240x240; Image width 240 mm, 1.00 mm slice spacing; Slice 63/155
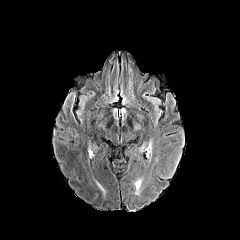
FLAIR MRI.
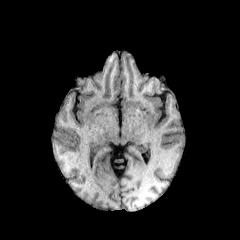
T1-weighted MR.
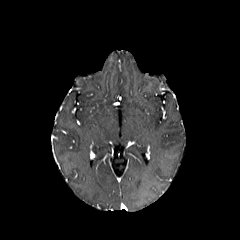
Post-contrast T1-weighted MR image.
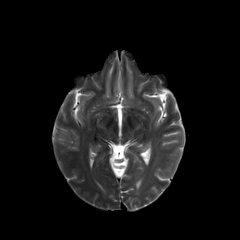
Same slice, T2-weighted MR image.
Segmented structures:
- peritumoral edema: [134,180,141,191]